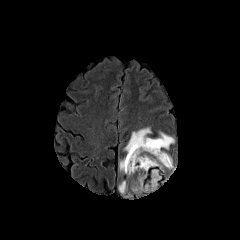
FLAIR MR image.
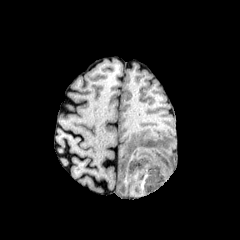
Same slice, T1-weighted MRI.
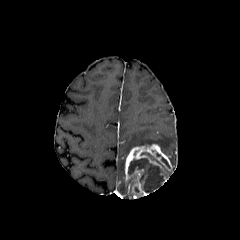
Post-contrast T1-weighted MR.
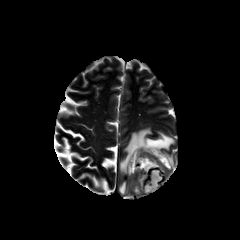
Same slice, T2-weighted magnetic resonance.
240x240 | Axial view | Head
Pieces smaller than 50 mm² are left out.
enhancing_tumor:
  - 124:144:173:196
necrotic_tumor_core:
  - 128:158:164:192
peritumoral_edema:
  - 119:158:125:173
  - 124:127:174:154
  - 119:180:127:194